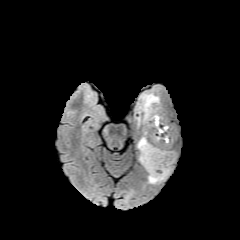
FLAIR MR image.
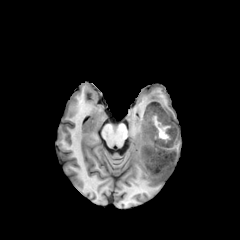
T1-weighted MR image of the same slice.
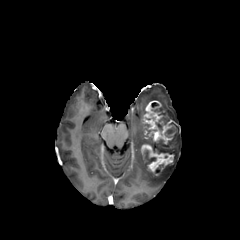
Same slice, post-contrast T1-weighted MR.
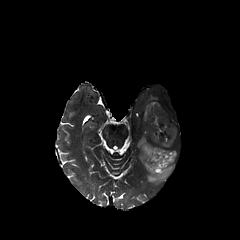
T2-weighted MRI.
Brain | Axial plane
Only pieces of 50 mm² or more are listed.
necrotic tumor core — [164,127,174,137], [144,150,156,164], [145,124,172,154], [151,102,169,135]
enhancing tumor — [141,130,174,175], [143,101,175,151]
peritumoral edema — [139,153,172,184], [137,135,146,150], [141,94,159,113]